Image width 240 mm. 240x240 px. Axial slice.
FLAIR MR.
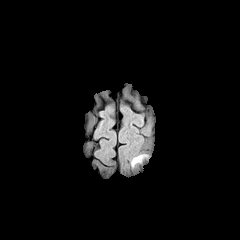
T1-weighted magnetic resonance.
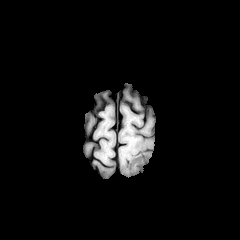
Post-contrast T1-weighted MRI.
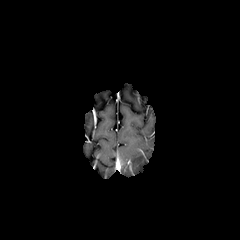
T2-weighted magnetic resonance.
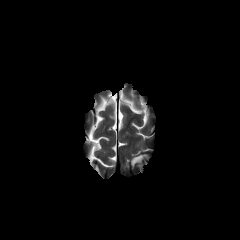
Findings:
- peritumoral edema: (131, 155, 146, 166)